FLAIR magnetic resonance.
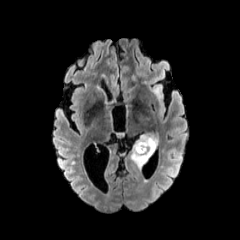
T1-weighted magnetic resonance.
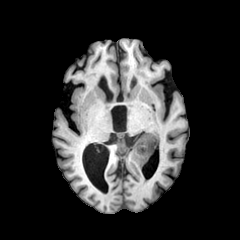
Post-contrast T1-weighted MRI.
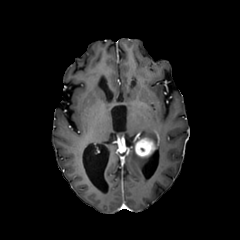
T2-weighted magnetic resonance.
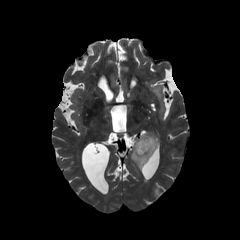
Axial plane, Head
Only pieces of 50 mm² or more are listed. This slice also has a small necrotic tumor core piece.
enhancing tumor: <box>135,137,155,157</box> | peritumoral edema: <box>137,133,158,148</box>, <box>130,144,153,169</box>